Slice index 107 | Axial plane
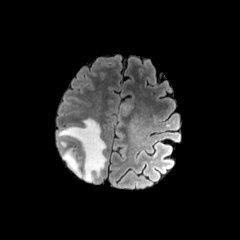
FLAIR magnetic resonance.
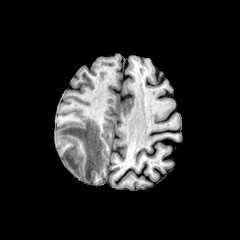
Same slice, T1-weighted magnetic resonance.
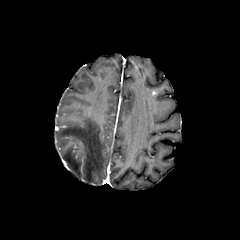
Post-contrast T1-weighted MR image of the same slice.
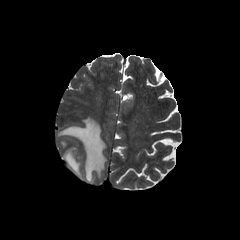
T2-weighted magnetic resonance.
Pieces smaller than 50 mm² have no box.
peritumoral edema: x1=57, y1=118, x2=106, y2=181